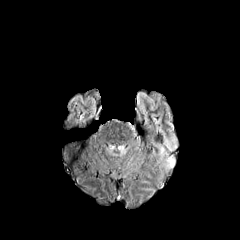
FLAIR MRI.
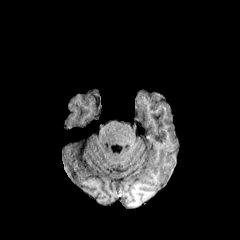
Same slice, T1-weighted MR image.
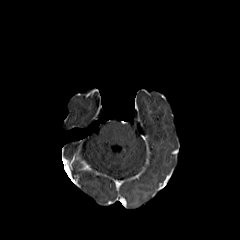
Post-contrast T1-weighted MR image of the same slice.
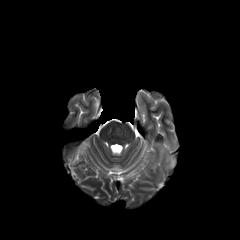
T2-weighted MR of the same slice.
Axial view | Image size 240x240
{"peritumoral_edema": ["[x1=164, y1=135, x2=176, y2=151]", "[x1=160, y1=146, x2=175, y2=168]"]}